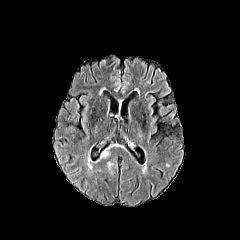
FLAIR MR.
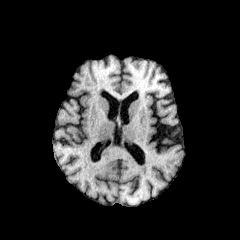
T1-weighted MR image.
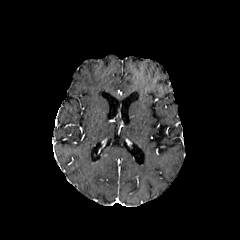
Post-contrast T1-weighted MR.
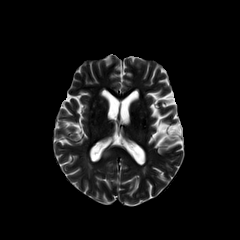
Same slice, T2-weighted MR.
240x240
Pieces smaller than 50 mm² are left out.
The largest peritumoral edema region is at (101,148,109,157).